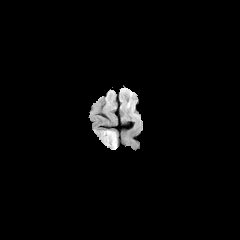
FLAIR magnetic resonance.
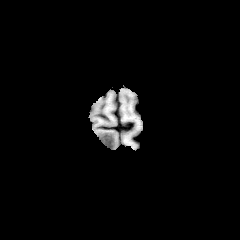
T1-weighted magnetic resonance.
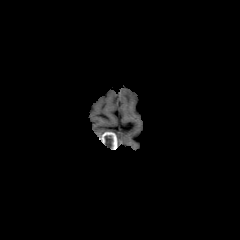
Post-contrast T1-weighted magnetic resonance of the same slice.
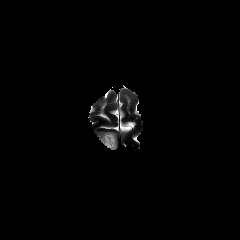
T2-weighted MR.
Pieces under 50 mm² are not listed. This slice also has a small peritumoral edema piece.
The enhancing tumor appears at (99, 132, 116, 149). The necrotic tumor core appears at (104, 135, 112, 148).